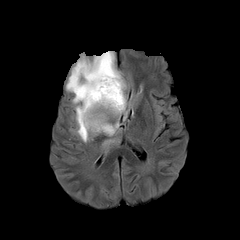
FLAIR MRI.
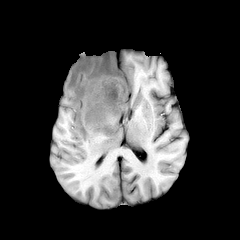
T1-weighted magnetic resonance.
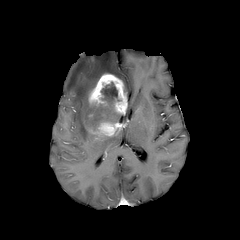
Post-contrast T1-weighted MR image.
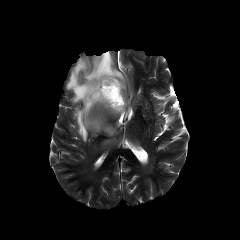
T2-weighted MR.
Head, Axial plane
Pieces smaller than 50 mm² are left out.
Findings:
* necrotic tumor core: [x1=99, y1=81, x2=122, y2=109]
* enhancing tumor: [x1=88, y1=73, x2=127, y2=136]
* peritumoral edema: [x1=66, y1=51, x2=126, y2=142], [x1=107, y1=112, x2=119, y2=123]